Axial slice. Slice 50 of 155. 240x240 px.
FLAIR magnetic resonance.
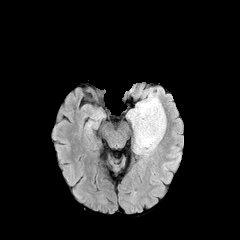
T1-weighted MRI.
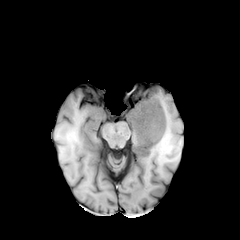
Post-contrast T1-weighted MR image.
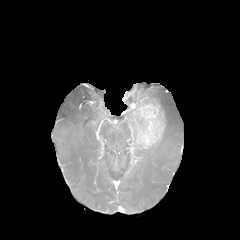
T2-weighted MR.
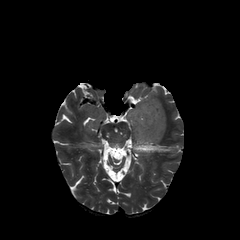
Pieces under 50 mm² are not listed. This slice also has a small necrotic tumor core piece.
peritumoral edema at left=127, top=102, right=160, bottom=155; left=143, top=91, right=163, bottom=110
enhancing tumor at left=133, top=99, right=165, bottom=148